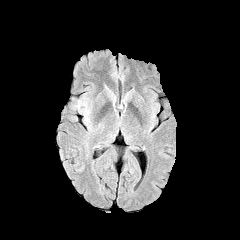
FLAIR MR.
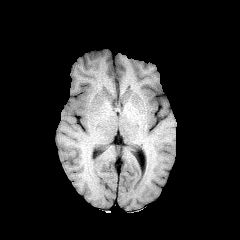
T1-weighted MR image of the same slice.
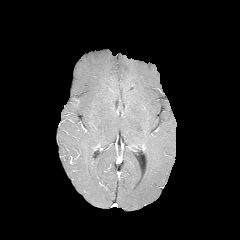
Post-contrast T1-weighted MR image.
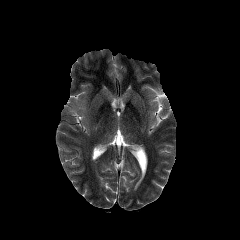
T2-weighted MRI.
Axial plane
{"peritumoral_edema": ["<bbox>72, 98, 89, 123</bbox>"]}